FLAIR MR image.
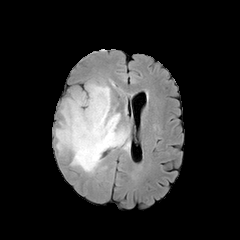
T1-weighted MR.
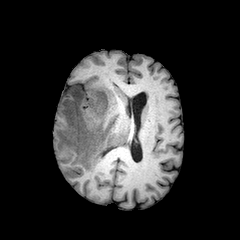
Post-contrast T1-weighted MRI.
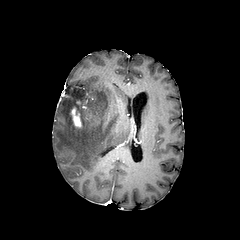
T2-weighted MR image.
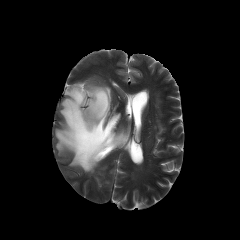
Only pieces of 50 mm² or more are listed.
enhancing tumor — l=71, t=108, r=81, b=127
peritumoral edema — l=55, t=81, r=129, b=172